240x240. Brain.
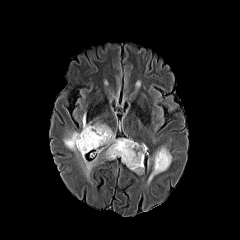
FLAIR MR image.
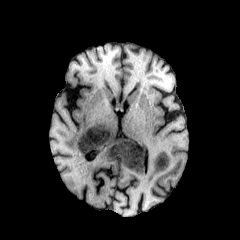
T1-weighted MRI.
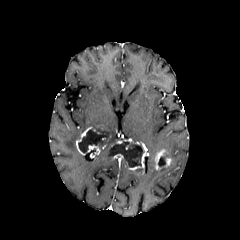
Post-contrast T1-weighted MR image.
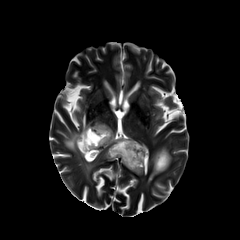
T2-weighted MR image.
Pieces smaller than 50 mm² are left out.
necrotic tumor core at (158,154,167,166), (110,141,143,167), (78,127,110,152)
peritumoral edema at (135,167,143,174), (147,161,167,183), (92,122,116,145), (152,146,171,160), (104,147,112,159), (81,155,95,176), (64,114,90,155)
enhancing tumor at (116,138,147,167), (154,149,171,170), (76,126,95,155), (112,154,139,170), (87,144,100,155)